FLAIR magnetic resonance.
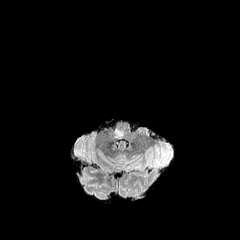
T1-weighted magnetic resonance.
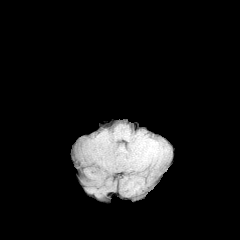
Post-contrast T1-weighted MR image.
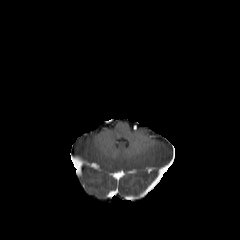
T2-weighted MR.
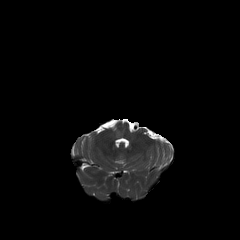
Axial view | Brain
The peritumoral edema appears at 113,129,123,140.